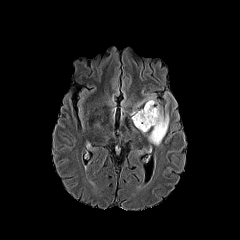
FLAIR MR image.
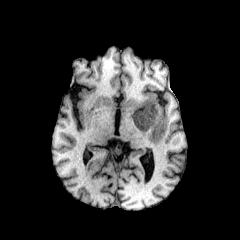
T1-weighted MRI.
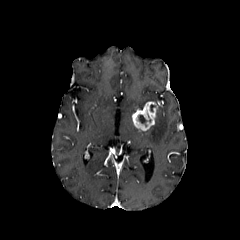
Post-contrast T1-weighted MR.
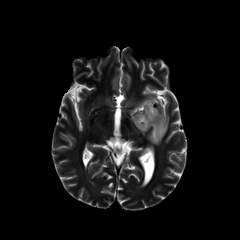
T2-weighted MRI.
Head
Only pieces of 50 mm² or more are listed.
The enhancing tumor appears at box(132, 101, 157, 131). The largest necrotic tumor core region lies within box(138, 115, 146, 123). The 2 largest peritumoral edema regions appear at box(147, 104, 169, 145); box(136, 94, 156, 106).